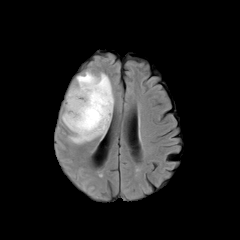
FLAIR MRI.
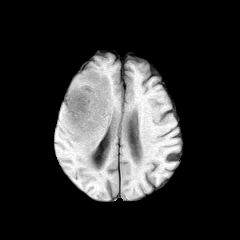
T1-weighted MR.
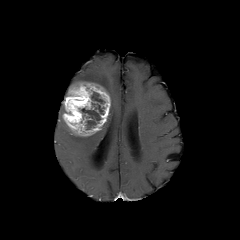
Post-contrast T1-weighted MRI.
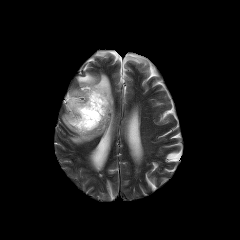
T2-weighted MR.
Image size 240x240 | Head | Axial plane
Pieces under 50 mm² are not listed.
<segmentation>
  <enhancing_tumor>x1=63, y1=82, x2=110, y2=136</enhancing_tumor>
  <necrotic_tumor_core>x1=91, y1=92, x2=104, y2=103; x1=81, y1=103, x2=103, y2=129</necrotic_tumor_core>
  <peritumoral_edema>x1=68, y1=71, x2=114, y2=144</peritumoral_edema>
</segmentation>